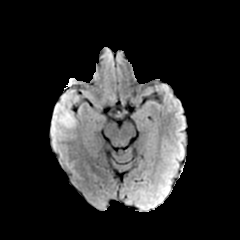
FLAIR magnetic resonance.
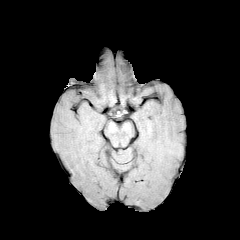
Same slice, T1-weighted MR image.
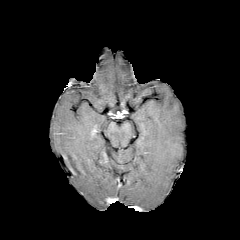
Post-contrast T1-weighted MRI.
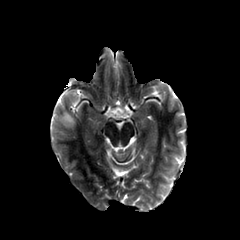
T2-weighted MR.
Head, 240x240 px
The peritumoral edema lies within region(56, 110, 75, 127).